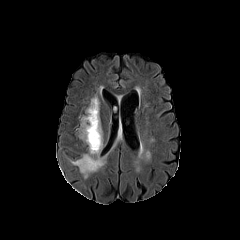
FLAIR magnetic resonance.
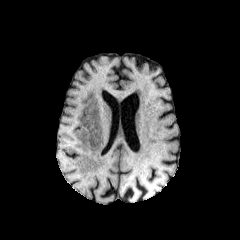
T1-weighted magnetic resonance.
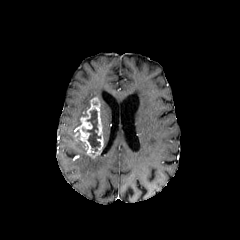
Post-contrast T1-weighted MR.
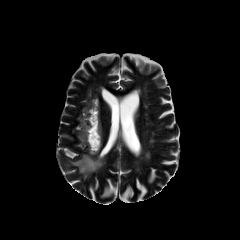
T2-weighted MR.
Head; Axial view
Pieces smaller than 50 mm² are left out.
The largest necrotic tumor core region lies within 87:110:100:151. The peritumoral edema is located at 70:154:105:178. The enhancing tumor is located at 76:97:103:158.